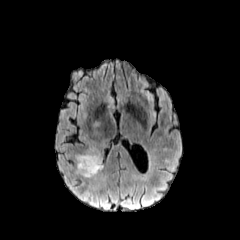
FLAIR MR image.
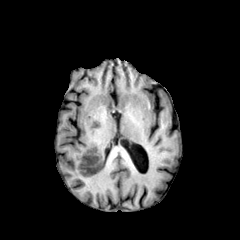
T1-weighted MR image.
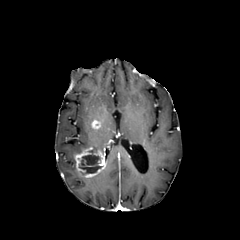
Post-contrast T1-weighted MRI.
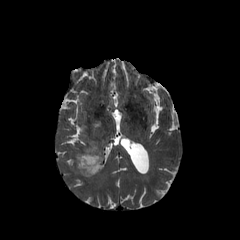
T2-weighted MR of the same slice.
Brain.
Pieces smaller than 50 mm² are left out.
enhancing tumor: bounding box <bbox>74, 147, 108, 177</bbox>, <bbox>91, 120, 100, 128</bbox>
peritumoral edema: bounding box <bbox>89, 171, 105, 188</bbox>
necrotic tumor core: bounding box <bbox>79, 150, 101, 173</bbox>